FLAIR MR.
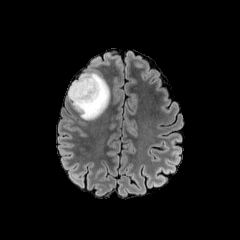
T1-weighted MR image.
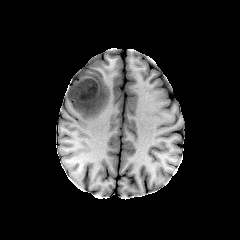
Post-contrast T1-weighted MR.
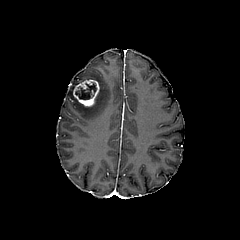
T2-weighted MR.
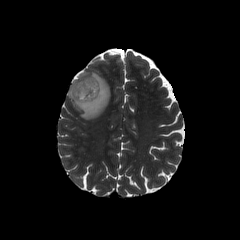
Axial view
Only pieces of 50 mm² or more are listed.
enhancing tumor: bounding box 73:79:99:106
peritumoral edema: bounding box 68:72:110:120
necrotic tumor core: bounding box 75:83:96:99